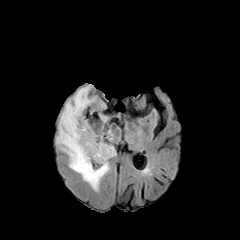
FLAIR MR image.
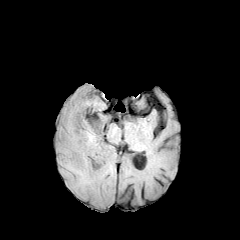
T1-weighted MR image.
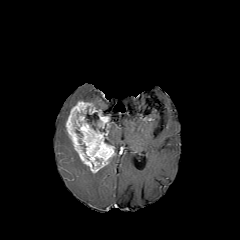
Post-contrast T1-weighted MRI.
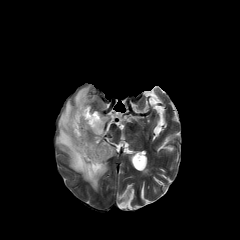
T2-weighted MRI.
240x240
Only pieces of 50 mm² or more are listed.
Findings:
* necrotic tumor core: (86, 107, 99, 129)
* peritumoral edema: (56, 84, 109, 191)
* enhancing tumor: (65, 101, 115, 173)